FLAIR MR.
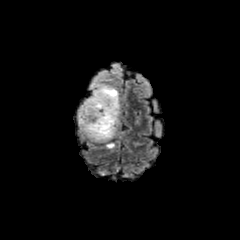
T1-weighted MRI.
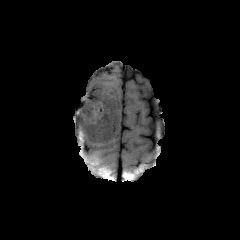
Post-contrast T1-weighted MR.
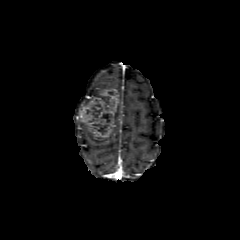
T2-weighted MR.
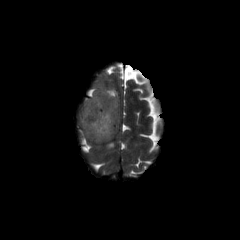
240x240, Brain
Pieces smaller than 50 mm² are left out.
<segmentation>
  <peritumoral_edema>x1=79, y1=126, x2=114, y2=142; x1=115, y1=105, x2=119, y2=134; x1=105, y1=142, x2=115, y2=148; x1=86, y1=84, x2=113, y2=102</peritumoral_edema>
  <necrotic_tumor_core>x1=101, y1=113, x2=111, y2=122; x1=93, y1=124, x2=108, y2=134; x1=92, y1=107, x2=101, y2=117</necrotic_tumor_core>
  <enhancing_tumor>x1=80, y1=88, x2=119, y2=140</enhancing_tumor>
</segmentation>